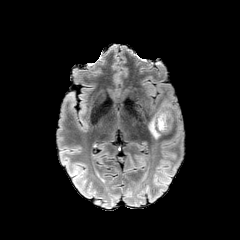
FLAIR MR.
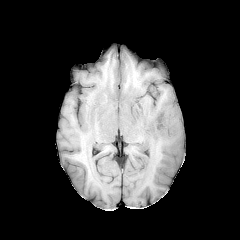
T1-weighted MRI of the same slice.
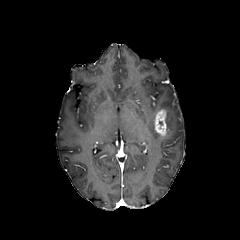
Post-contrast T1-weighted MRI of the same slice.
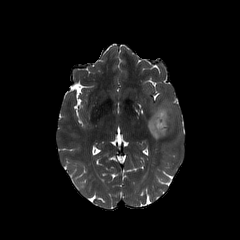
T2-weighted MRI.
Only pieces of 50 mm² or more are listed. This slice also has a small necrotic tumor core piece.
The enhancing tumor appears at 153, 109, 166, 136. The peritumoral edema is bounded by 148, 100, 175, 139.